Head, Axial view
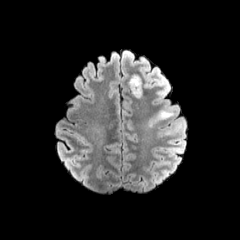
FLAIR MR.
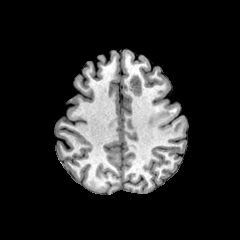
Same slice, T1-weighted MR.
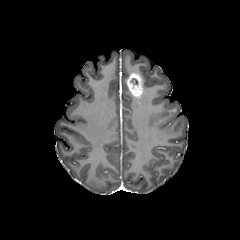
Post-contrast T1-weighted MR image.
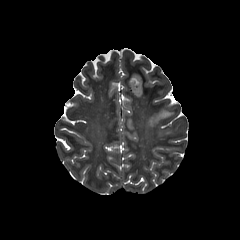
T2-weighted MR.
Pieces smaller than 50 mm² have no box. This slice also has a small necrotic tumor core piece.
Findings:
• peritumoral edema: (149, 111, 173, 126)
• enhancing tumor: (127, 73, 142, 97)